Slice 85/155
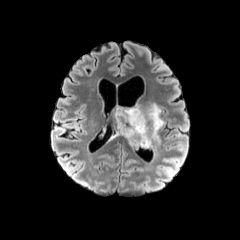
FLAIR MRI.
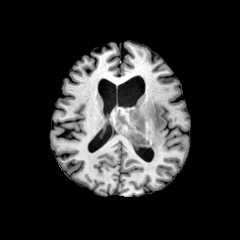
Same slice, T1-weighted MR image.
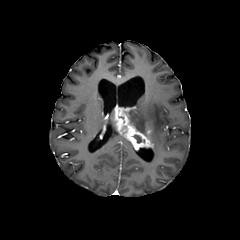
Post-contrast T1-weighted magnetic resonance.
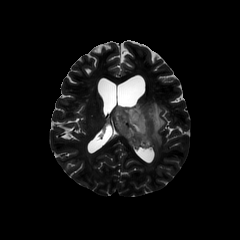
T2-weighted MRI.
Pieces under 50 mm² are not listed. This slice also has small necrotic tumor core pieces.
{"enhancing_tumor": ["bbox(114, 107, 153, 149)"], "peritumoral_edema": ["bbox(128, 103, 164, 143)"]}